FLAIR MRI.
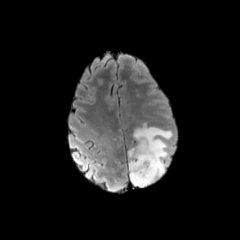
T1-weighted MR image.
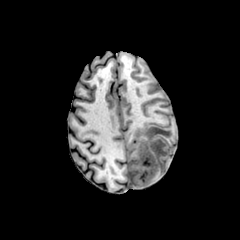
Post-contrast T1-weighted MR.
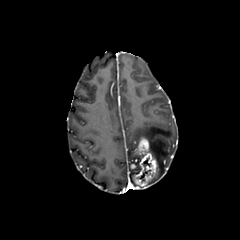
T2-weighted MR image.
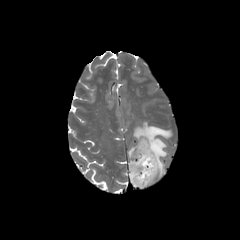
Brain; Image size 240x240
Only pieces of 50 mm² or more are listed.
<segmentation>
  <peritumoral_edema><box>128,145,139,183</box>, <box>133,122,172,185</box></peritumoral_edema>
  <enhancing_tumor><box>132,138,157,186</box></enhancing_tumor>
  <necrotic_tumor_core><box>138,158,150,181</box></necrotic_tumor_core>
</segmentation>